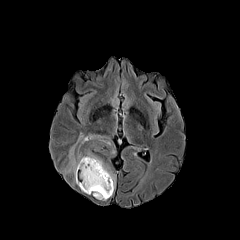
FLAIR MRI.
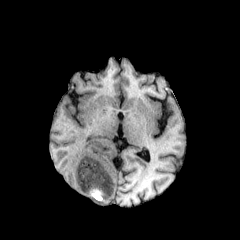
T1-weighted MR of the same slice.
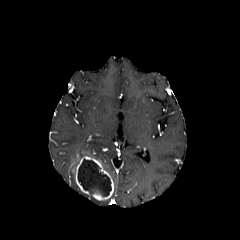
Post-contrast T1-weighted magnetic resonance.
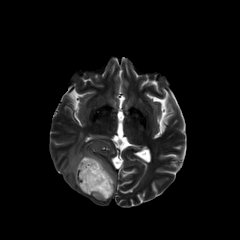
T2-weighted magnetic resonance.
Image size 240x240. Axial plane.
Findings:
• peritumoral edema: x1=64, y1=132, x2=116, y2=174; x1=86, y1=152, x2=115, y2=186
• necrotic tumor core: x1=78, y1=159, x2=111, y2=196
• enhancing tumor: x1=75, y1=155, x2=114, y2=200